Slice index 113; 240x240; Image width 240 mm; Head
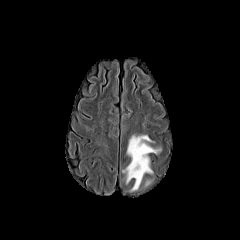
FLAIR magnetic resonance.
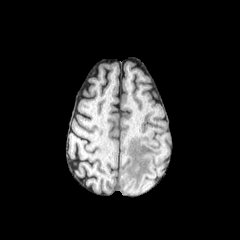
Same slice, T1-weighted MRI.
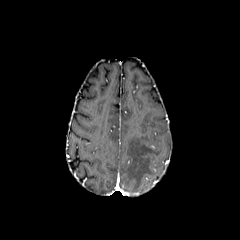
Post-contrast T1-weighted MRI.
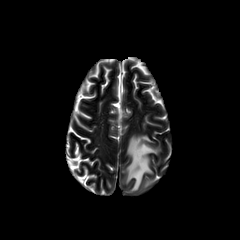
T2-weighted MR image of the same slice.
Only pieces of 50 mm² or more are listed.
peritumoral edema: (left=122, top=135, right=160, bottom=191)